FLAIR magnetic resonance.
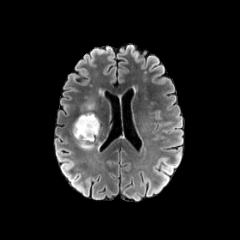
T1-weighted MRI.
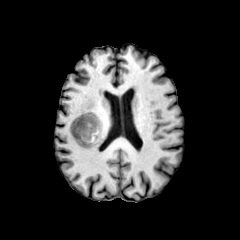
Post-contrast T1-weighted magnetic resonance.
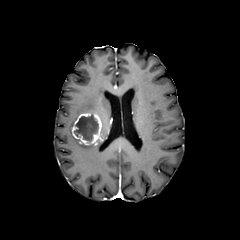
T2-weighted MRI.
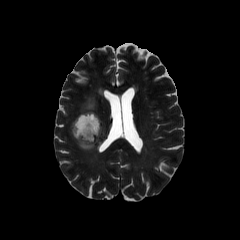
Image size 240x240. Head. Axial plane.
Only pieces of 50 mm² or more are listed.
<segmentation>
  <necrotic_tumor_core>(x1=74, y1=115, x2=98, y2=141)</necrotic_tumor_core>
  <peritumoral_edema>(x1=80, y1=100, x2=94, y2=113), (x1=79, y1=144, x2=94, y2=149)</peritumoral_edema>
  <enhancing_tumor>(x1=72, y1=113, x2=101, y2=145)</enhancing_tumor>
</segmentation>